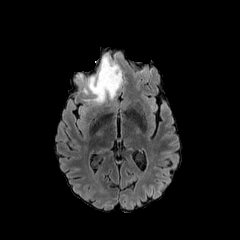
FLAIR MR.
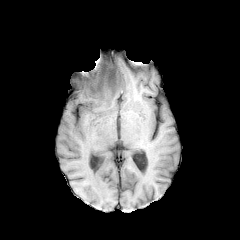
T1-weighted MR image of the same slice.
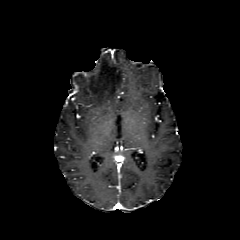
Same slice, post-contrast T1-weighted MRI.
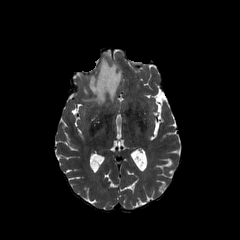
T2-weighted MRI.
Axial slice
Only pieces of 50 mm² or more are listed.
Annotated regions:
- peritumoral edema: [82, 53, 122, 104]